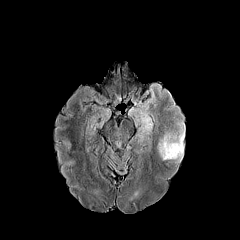
FLAIR MR image.
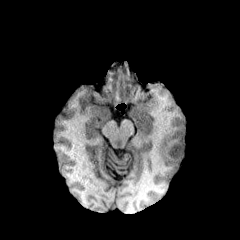
Same slice, T1-weighted MR image.
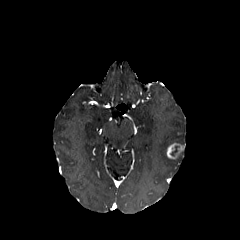
Same slice, post-contrast T1-weighted MRI.
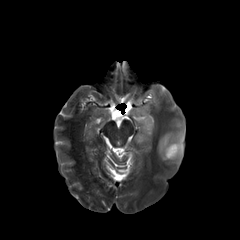
T2-weighted MRI.
Axial view; Brain; Image size 240x240
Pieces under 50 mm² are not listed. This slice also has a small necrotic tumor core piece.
enhancing tumor at bbox(167, 142, 184, 159)
peritumoral edema at bbox(150, 84, 161, 96); bbox(158, 122, 185, 162); bbox(136, 114, 153, 143)